FLAIR MRI.
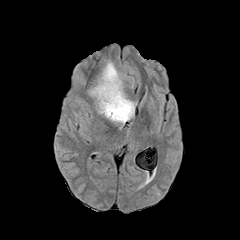
T1-weighted MRI.
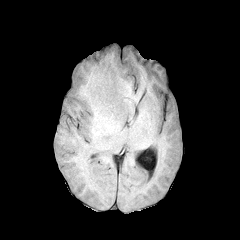
Post-contrast T1-weighted MR.
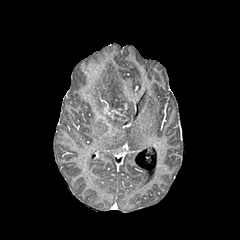
T2-weighted MRI.
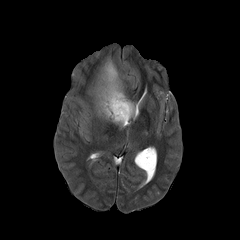
240x240
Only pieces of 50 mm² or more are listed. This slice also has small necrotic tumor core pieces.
Annotated regions:
• enhancing tumor: 101:99:127:118
• peritumoral edema: 89:60:134:124